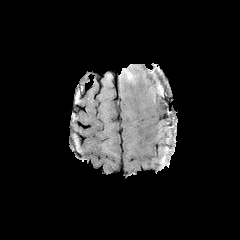
FLAIR MR image.
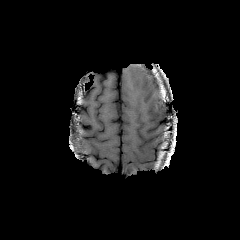
T1-weighted MR image of the same slice.
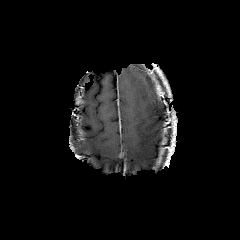
Post-contrast T1-weighted MR of the same slice.
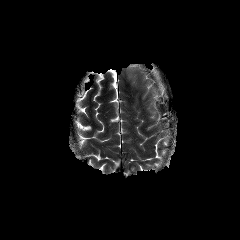
Same slice, T2-weighted MR image.
Axial slice; Head
The peritumoral edema appears at [126, 71, 134, 79].